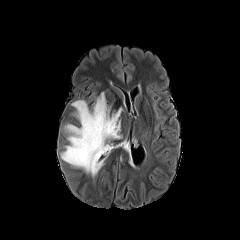
FLAIR MRI.
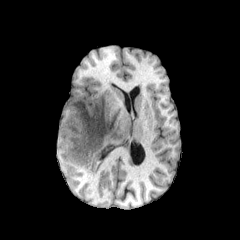
T1-weighted MR.
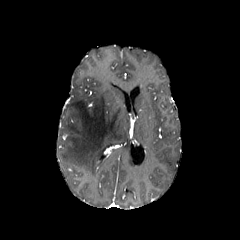
Post-contrast T1-weighted MR.
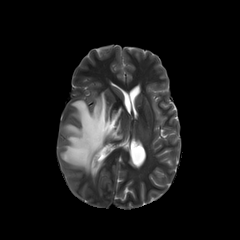
T2-weighted MR of the same slice.
Axial view
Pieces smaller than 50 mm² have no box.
The largest peritumoral edema region is located at (x1=61, y1=92, x2=122, y2=177).